240x240 px, Slice index 45
FLAIR magnetic resonance.
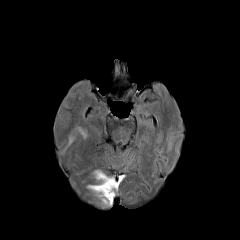
T1-weighted magnetic resonance.
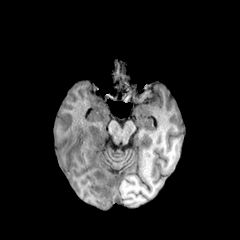
Post-contrast T1-weighted MR.
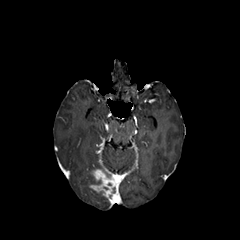
T2-weighted magnetic resonance.
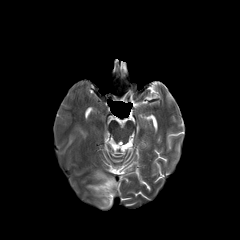
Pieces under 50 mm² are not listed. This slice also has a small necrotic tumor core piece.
- enhancing tumor: (89,169,119,205)
- peritumoral edema: (94,191,110,205)